Axial plane
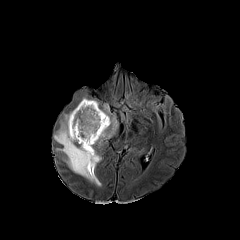
FLAIR MR image.
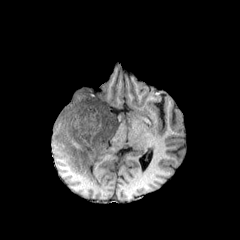
Same slice, T1-weighted MRI.
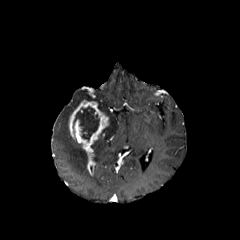
Post-contrast T1-weighted magnetic resonance.
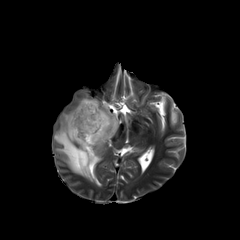
Same slice, T2-weighted MRI.
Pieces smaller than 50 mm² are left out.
The 2 largest peritumoral edema regions appear at 54, 111, 101, 186; 92, 103, 117, 164. The necrotic tumor core is bounded by 73, 106, 99, 140. The largest enhancing tumor region is located at 68, 99, 108, 175.